Axial view. Image width 240 mm, 1.00 mm slice spacing. Head.
FLAIR MRI.
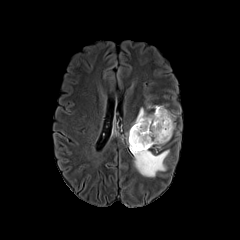
T1-weighted MR.
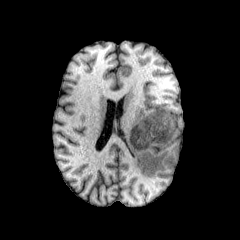
Post-contrast T1-weighted MR image.
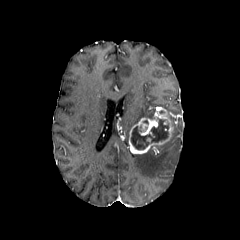
T2-weighted magnetic resonance.
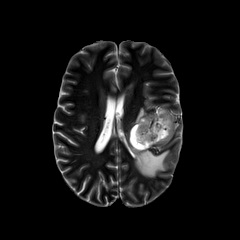
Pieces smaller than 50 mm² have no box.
The largest enhancing tumor region appears at (128, 106, 173, 154). The 2 largest peritumoral edema regions are bounded by (132, 107, 153, 125), (133, 150, 169, 177). The largest necrotic tumor core region is bounded by (131, 119, 168, 149).